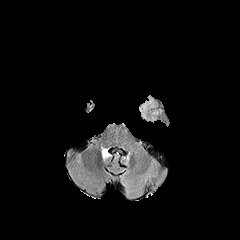
FLAIR MR image.
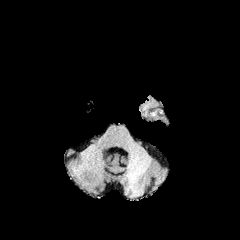
T1-weighted MRI.
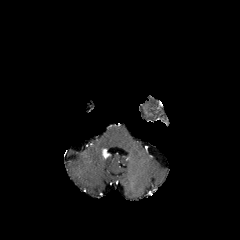
Post-contrast T1-weighted MR image.
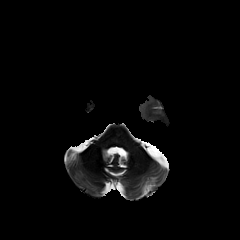
T2-weighted MR.
240x240. Axial plane. Head.
The enhancing tumor appears at x1=101, y1=148, x2=110, y2=159. The peritumoral edema lies within x1=140, y1=101, x2=147, y2=117.